FLAIR MR.
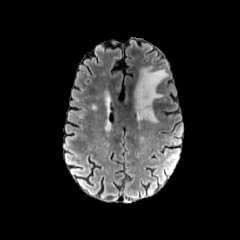
T1-weighted MR image.
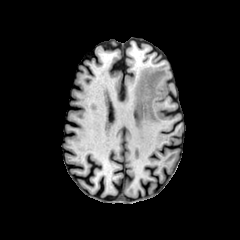
Post-contrast T1-weighted magnetic resonance.
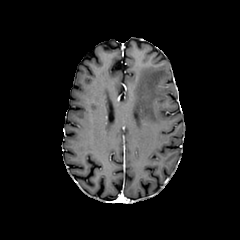
T2-weighted MRI.
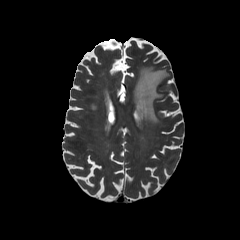
Head
peritumoral edema at left=134, top=66, right=168, bottom=122